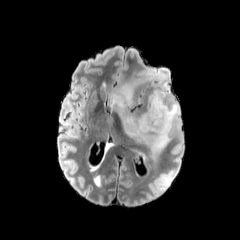
FLAIR magnetic resonance.
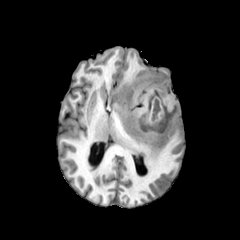
T1-weighted magnetic resonance of the same slice.
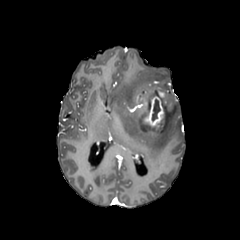
Post-contrast T1-weighted MR image.
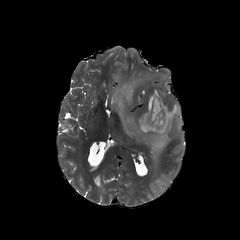
T2-weighted magnetic resonance of the same slice.
Axial view
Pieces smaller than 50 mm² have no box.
<segmentation>
  <peritumoral_edema><bbox>110, 68, 180, 157</bbox></peritumoral_edema>
  <enhancing_tumor><bbox>144, 95, 164, 127</bbox></enhancing_tumor>
  <necrotic_tumor_core><bbox>152, 99, 160, 120</bbox></necrotic_tumor_core>
</segmentation>